FLAIR MR.
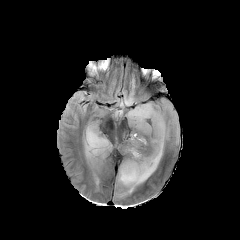
T1-weighted MR.
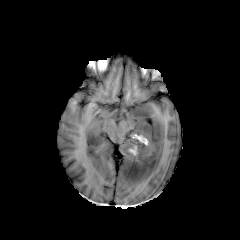
Post-contrast T1-weighted MR image.
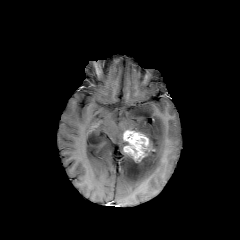
T2-weighted MR.
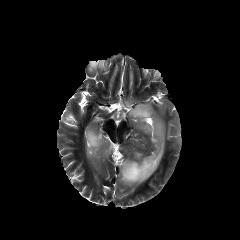
Image size 240x240
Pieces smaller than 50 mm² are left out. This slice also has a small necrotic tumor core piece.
- peritumoral edema: <box>84,123,112,164</box>, <box>117,102,168,195</box>, <box>116,93,137,114</box>
- enhancing tumor: <box>123,131,150,161</box>